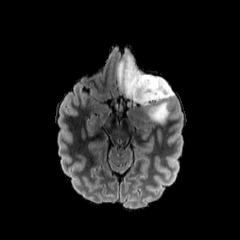
FLAIR MRI.
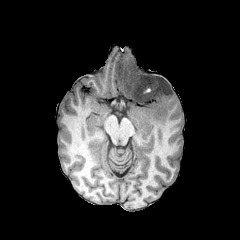
T1-weighted magnetic resonance.
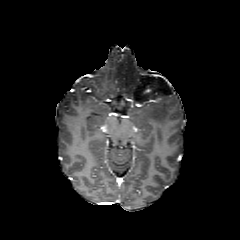
Post-contrast T1-weighted magnetic resonance.
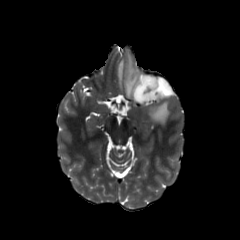
Same slice, T2-weighted MR.
Image size 240x240 | Axial view
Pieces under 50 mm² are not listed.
{
  "enhancing_tumor": [
    "x1=144 y1=97 x2=161 y2=103"
  ],
  "peritumoral_edema": [
    "x1=117 y1=53 x2=174 y2=124"
  ]
}